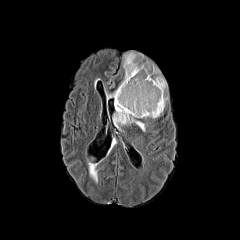
FLAIR MRI.
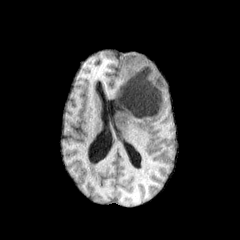
T1-weighted MR.
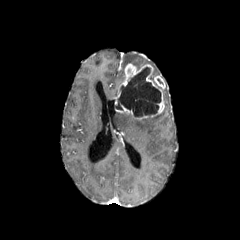
Post-contrast T1-weighted MR image.
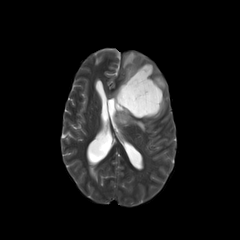
T2-weighted MR image.
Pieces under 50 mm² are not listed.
enhancing tumor = bbox(115, 105, 133, 116); bbox(115, 63, 165, 119)
peritumoral edema = bbox(123, 52, 157, 73); bbox(113, 112, 145, 131); bbox(106, 89, 117, 98); bbox(88, 163, 100, 183)
necrotic tumor core = bbox(116, 67, 161, 117)